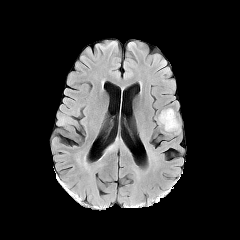
FLAIR magnetic resonance.
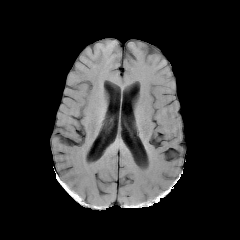
T1-weighted MRI.
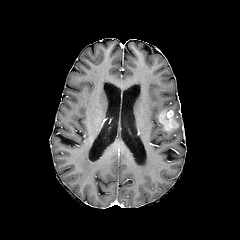
Same slice, post-contrast T1-weighted magnetic resonance.
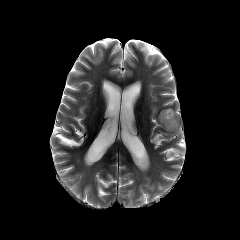
T2-weighted MR image.
Axial slice, Head
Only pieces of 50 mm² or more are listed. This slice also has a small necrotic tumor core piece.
peritumoral edema — l=164, t=108, r=181, b=134
enhancing tumor — l=159, t=110, r=178, b=131